FLAIR MR.
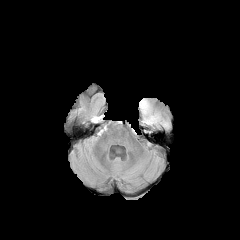
T1-weighted MR.
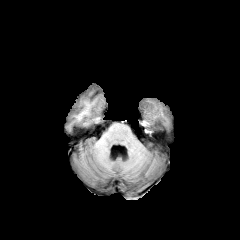
Post-contrast T1-weighted MR.
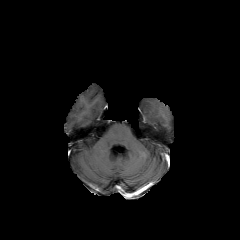
T2-weighted MRI.
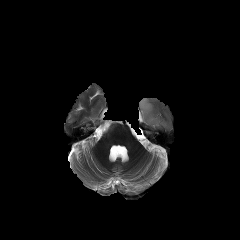
Axial view; 240x240
Findings:
- peritumoral edema: (x1=139, y1=98, x2=166, y2=126)